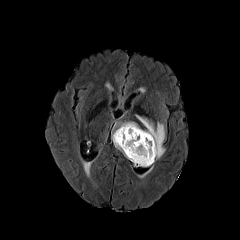
FLAIR magnetic resonance.
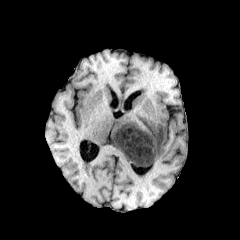
T1-weighted MR image.
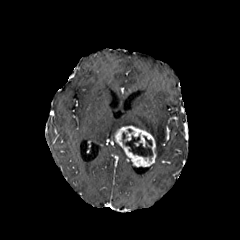
Post-contrast T1-weighted MRI.
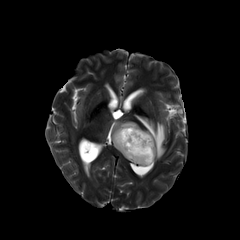
T2-weighted MR of the same slice.
Head, Image size 240x240
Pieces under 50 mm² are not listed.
enhancing tumor at x1=114 y1=125 x2=156 y2=166
necrotic tumor core at x1=122 y1=132 x2=152 y2=159
peritumoral edema at x1=112 y1=121 x2=139 y2=157, x1=136 y1=115 x2=165 y2=160